FLAIR magnetic resonance.
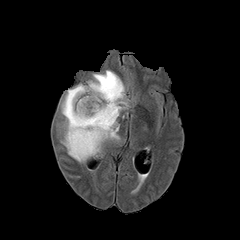
T1-weighted magnetic resonance.
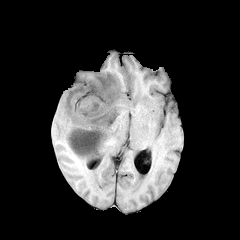
Post-contrast T1-weighted MRI.
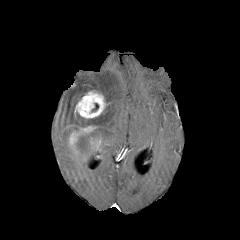
T2-weighted MRI.
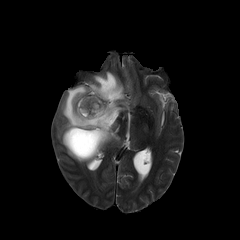
240x240
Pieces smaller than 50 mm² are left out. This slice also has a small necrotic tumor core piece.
<segmentation>
  <enhancing_tumor>x1=67, y1=125, x2=103, y2=159; x1=74, y1=90, x2=107, y2=119</enhancing_tumor>
  <peritumoral_edema>x1=61, y1=70, x2=129, y2=163</peritumoral_edema>
</segmentation>